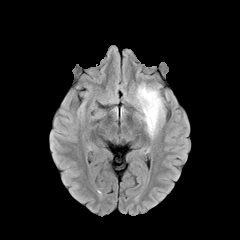
FLAIR MR image.
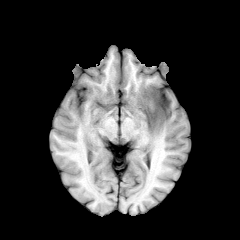
Same slice, T1-weighted MR.
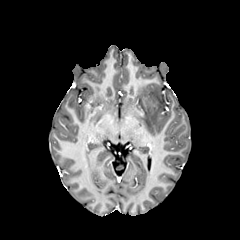
Post-contrast T1-weighted MRI of the same slice.
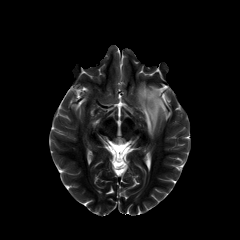
T2-weighted magnetic resonance.
Image size 240x240. Brain.
peritumoral_edema:
  - <bbox>136, 83, 164, 137</bbox>